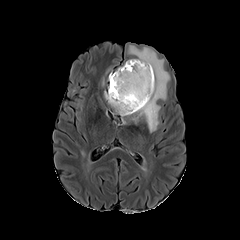
FLAIR MR.
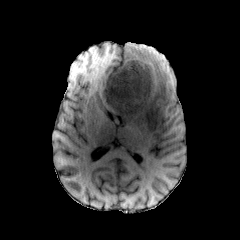
T1-weighted MR.
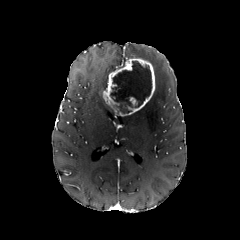
Post-contrast T1-weighted magnetic resonance.
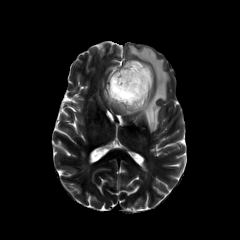
Same slice, T2-weighted MR.
Axial plane
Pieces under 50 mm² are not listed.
peritumoral edema: 126, 46, 169, 132 | enhancing tumor: 103, 58, 155, 116 | necrotic tumor core: 110, 61, 151, 113